FLAIR magnetic resonance.
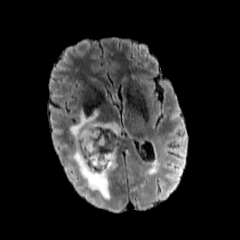
T1-weighted MR image.
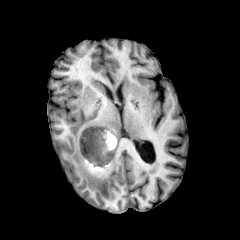
Post-contrast T1-weighted MR.
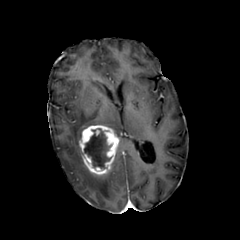
T2-weighted magnetic resonance.
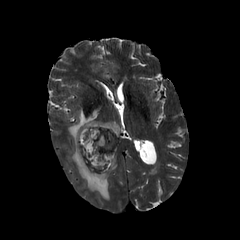
Axial view
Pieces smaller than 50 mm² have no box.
The enhancing tumor lies within box=[79, 125, 119, 175]. The largest necrotic tumor core region is at box=[84, 129, 112, 168]. The largest peritumoral edema region lies within box=[69, 110, 120, 199].